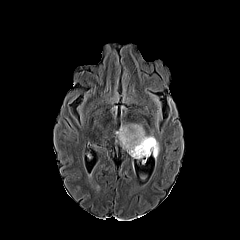
FLAIR MR.
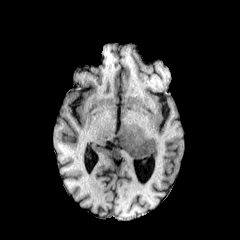
T1-weighted magnetic resonance.
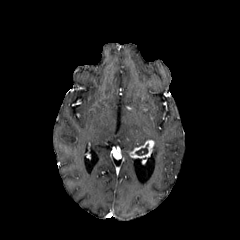
Same slice, post-contrast T1-weighted MRI.
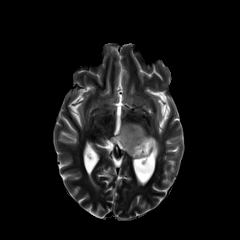
Same slice, T2-weighted MR.
Image size 240x240, Brain
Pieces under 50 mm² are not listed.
{"peritumoral_edema": ["bbox=[117, 124, 159, 157]"], "enhancing_tumor": ["bbox=[129, 140, 154, 158]"], "necrotic_tumor_core": ["bbox=[135, 144, 148, 155]"]}